Head; Axial view; Image covers 240 mm x 240 mm
FLAIR MR image.
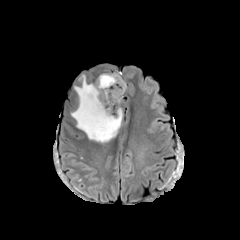
T1-weighted MR.
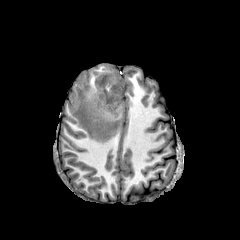
Post-contrast T1-weighted magnetic resonance.
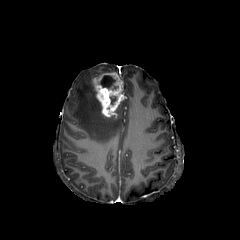
T2-weighted magnetic resonance.
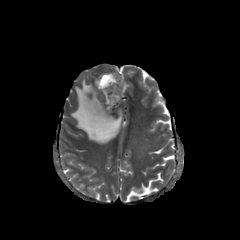
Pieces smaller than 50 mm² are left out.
The enhancing tumor appears at rect(94, 72, 124, 117). The largest peritumoral edema region lies within rect(71, 74, 122, 143). The largest necrotic tumor core region is located at rect(100, 75, 117, 89).